FLAIR MR image.
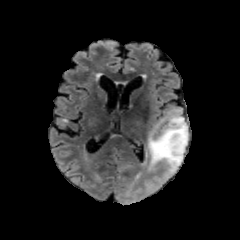
T1-weighted MR image.
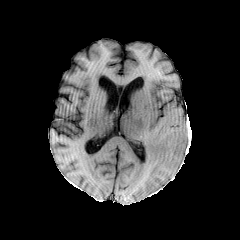
Post-contrast T1-weighted magnetic resonance.
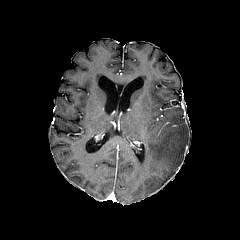
T2-weighted MR image.
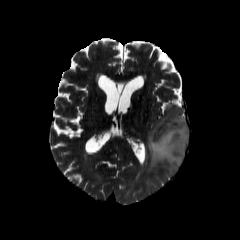
Axial view; Brain; 240x240
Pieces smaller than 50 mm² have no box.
The largest peritumoral edema region is bounded by bbox=[147, 109, 188, 175].